Slice index 86 | Axial view | Image size 240x240
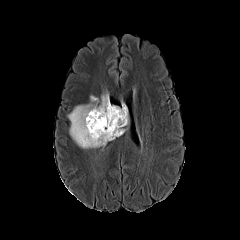
FLAIR MR.
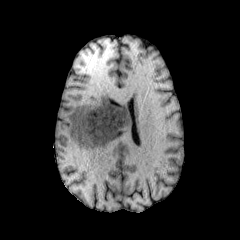
T1-weighted MR image.
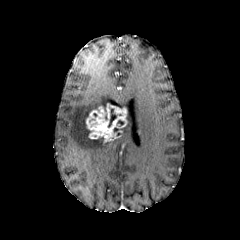
Post-contrast T1-weighted MR.
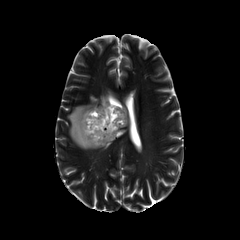
Same slice, T2-weighted MR.
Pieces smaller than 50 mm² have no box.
The largest enhancing tumor region appears at x1=86 y1=103 x2=127 y2=142. The largest necrotic tumor core region appears at x1=108 y1=109 x2=116 y2=127. The largest peritumoral edema region is bounded by x1=67 y1=93 x2=109 y2=149.